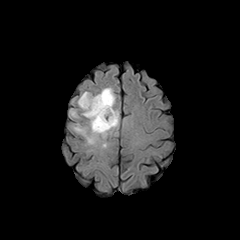
FLAIR magnetic resonance.
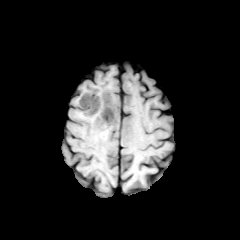
Same slice, T1-weighted MR image.
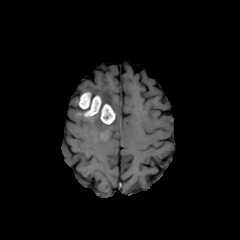
Post-contrast T1-weighted MR image of the same slice.
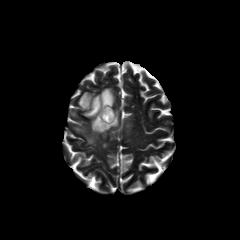
Same slice, T2-weighted MR.
Head.
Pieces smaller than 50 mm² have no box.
<segmentation>
  <peritumoral_edema>(74, 87, 119, 144)</peritumoral_edema>
  <necrotic_tumor_core>(103, 108, 111, 119)</necrotic_tumor_core>
  <enhancing_tumor>(78, 92, 115, 124)</enhancing_tumor>
</segmentation>